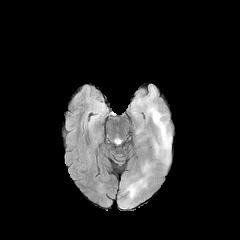
FLAIR MR.
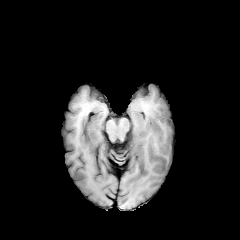
Same slice, T1-weighted MR.
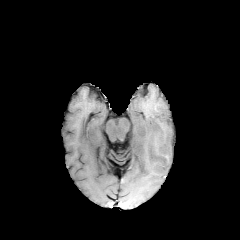
Post-contrast T1-weighted MRI of the same slice.
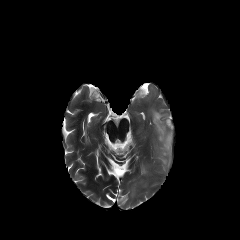
Same slice, T2-weighted magnetic resonance.
Axial view. 240x240 px.
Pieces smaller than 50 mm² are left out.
{
  "peritumoral_edema": [
    "x1=152 y1=110 x2=170 y2=149"
  ]
}